Image width 240 mm, 1.00 mm slice spacing | Slice index 102 | Image size 240x240
FLAIR MR.
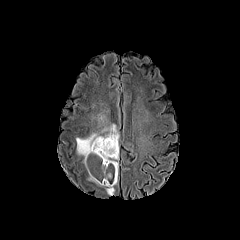
T1-weighted magnetic resonance.
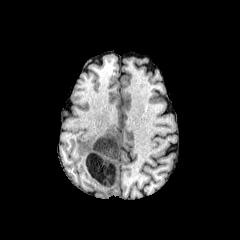
Post-contrast T1-weighted magnetic resonance.
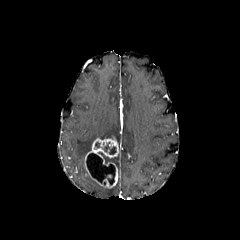
T2-weighted MRI.
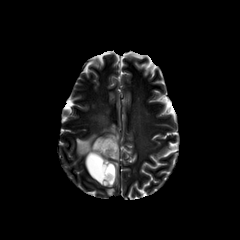
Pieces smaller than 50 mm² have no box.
<segmentation>
  <peritumoral_edema>left=106, top=187, right=114, bottom=195; left=76, top=124, right=119, bottom=156</peritumoral_edema>
  <enhancing_tumor>left=84, top=136, right=119, bottom=188</enhancing_tumor>
  <necrotic_tumor_core>left=86, top=153, right=115, bottom=184; left=99, top=152, right=115, bottom=163</necrotic_tumor_core>
</segmentation>